FLAIR magnetic resonance.
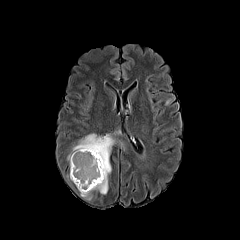
T1-weighted magnetic resonance.
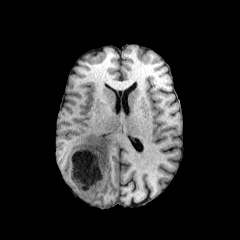
Post-contrast T1-weighted MR.
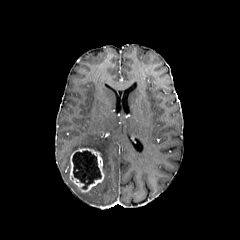
T2-weighted MR image.
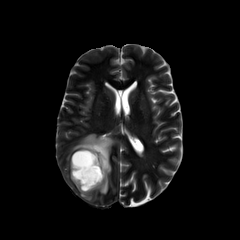
240x240 px
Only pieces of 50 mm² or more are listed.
<segmentation>
  <peritumoral_edema>bbox=[67, 133, 125, 200]</peritumoral_edema>
  <enhancing_tumor>bbox=[70, 148, 104, 192]</enhancing_tumor>
  <necrotic_tumor_core>bbox=[72, 150, 101, 189]</necrotic_tumor_core>
</segmentation>